FLAIR magnetic resonance.
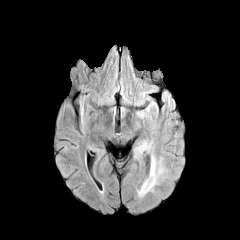
T1-weighted magnetic resonance.
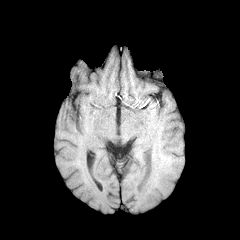
Post-contrast T1-weighted MR image.
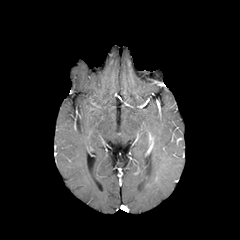
T2-weighted MR image.
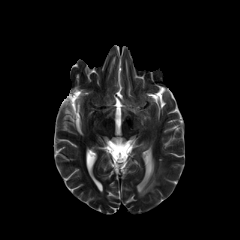
Axial plane
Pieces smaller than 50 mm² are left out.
<segmentation>
  <peritumoral_edema>x1=136 y1=141 x2=162 y2=196, x1=139 y1=102 x2=158 y2=115</peritumoral_edema>
</segmentation>